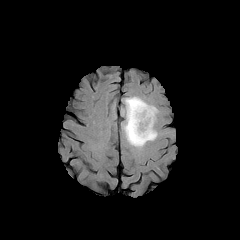
FLAIR MRI.
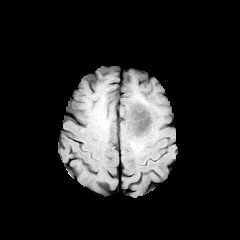
T1-weighted magnetic resonance.
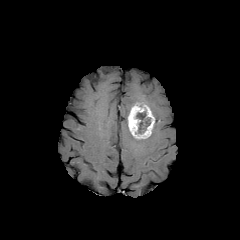
Same slice, post-contrast T1-weighted MRI.
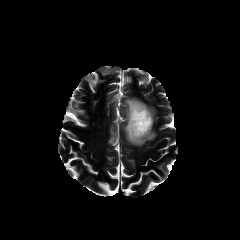
T2-weighted magnetic resonance of the same slice.
Brain.
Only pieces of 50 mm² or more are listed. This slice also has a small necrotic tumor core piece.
peritumoral edema: bounding box 122:97:157:147
enhancing tumor: bounding box 128:102:155:139